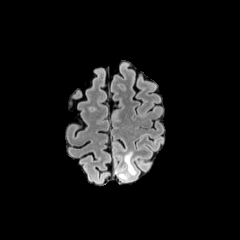
FLAIR MRI.
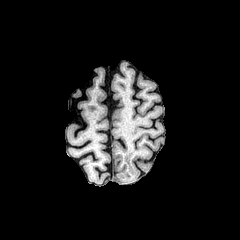
T1-weighted MR of the same slice.
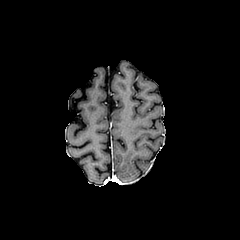
Post-contrast T1-weighted MR.
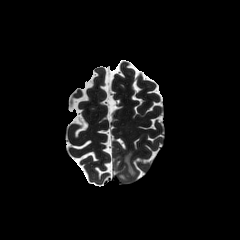
T2-weighted MR image of the same slice.
Axial view, Brain
2 peritumoral edema regions appear at <bbox>124, 153, 135, 175</bbox>, <bbox>119, 173, 128, 180</bbox>.